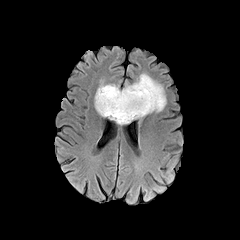
FLAIR MR image.
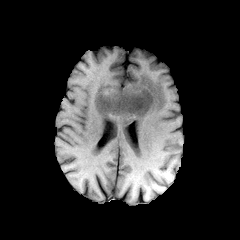
T1-weighted MR.
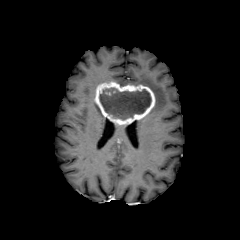
Post-contrast T1-weighted magnetic resonance.
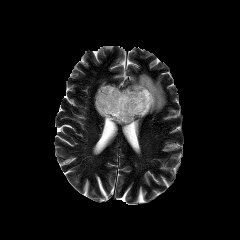
T2-weighted MR image of the same slice.
240x240
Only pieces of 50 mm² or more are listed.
* peritumoral edema: [126,73,166,113]
* enhancing tumor: [94,82,155,125]
* necrotic tumor core: [99,88,151,119]